Axial plane; Slice 58 of 155
FLAIR MR.
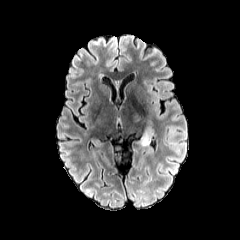
T1-weighted MR.
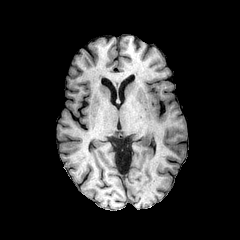
Post-contrast T1-weighted MRI.
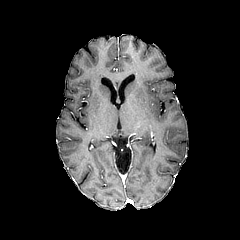
T2-weighted magnetic resonance.
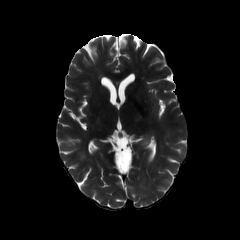
{"peritumoral_edema": ["139:125:154:145"]}